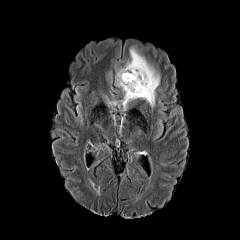
FLAIR MR image.
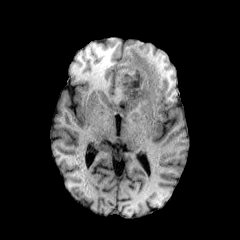
T1-weighted MR image.
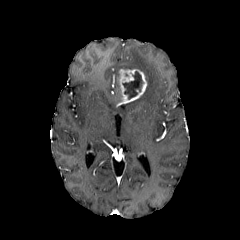
Post-contrast T1-weighted MRI.
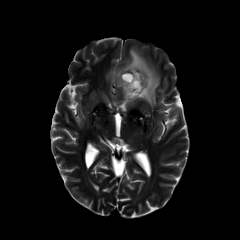
T2-weighted magnetic resonance.
Axial plane; Head
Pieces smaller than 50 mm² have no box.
necrotic tumor core = l=123, t=71, r=142, b=98
peritumoral edema = l=122, t=48, r=159, b=106
enhancing tumor = l=117, t=69, r=147, b=105